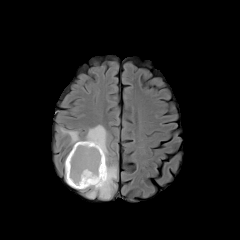
FLAIR MRI.
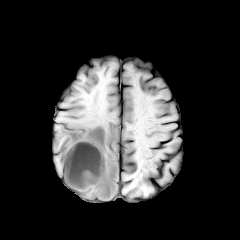
T1-weighted MRI.
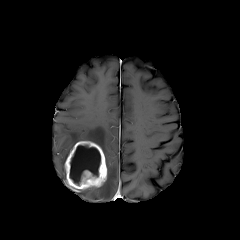
Same slice, post-contrast T1-weighted MR.
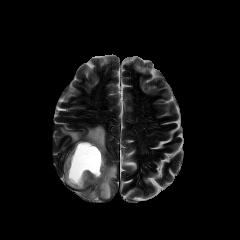
T2-weighted MR image.
Axial plane, Head
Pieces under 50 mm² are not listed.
The necrotic tumor core is located at [69, 145, 100, 184]. The enhancing tumor is bounded by [64, 141, 106, 189]. The largest peritumoral edema region appears at [60, 125, 117, 199].